240x240, Slice 38/155, Axial slice, Head
FLAIR MR.
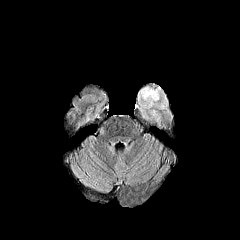
T1-weighted MR.
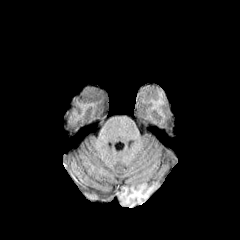
Post-contrast T1-weighted MRI.
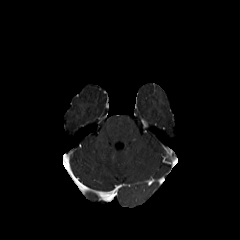
T2-weighted MRI.
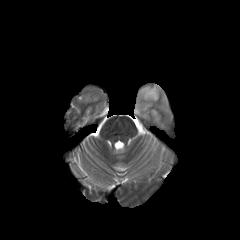
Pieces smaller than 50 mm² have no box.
<segmentation>
  <peritumoral_edema>x1=138, y1=87, x2=167, y2=118</peritumoral_edema>
</segmentation>